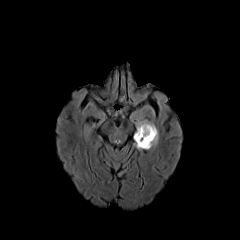
FLAIR MRI.
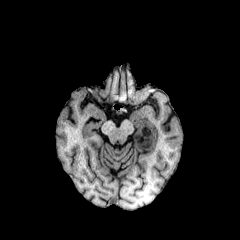
T1-weighted magnetic resonance of the same slice.
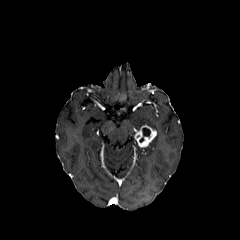
Post-contrast T1-weighted MR.
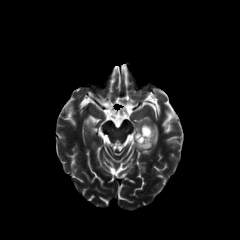
T2-weighted magnetic resonance.
Head, Axial view
necrotic tumor core: x1=139 y1=128 x2=150 y2=142 | peritumoral edema: x1=133 y1=117 x2=158 y2=149 | enhancing tumor: x1=134 y1=125 x2=156 y2=147